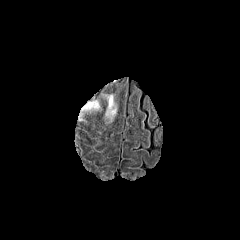
FLAIR MRI.
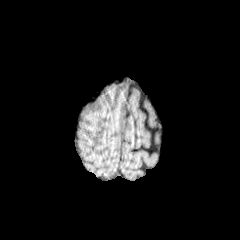
T1-weighted MRI of the same slice.
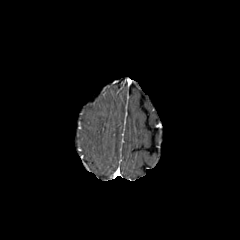
Same slice, post-contrast T1-weighted MRI.
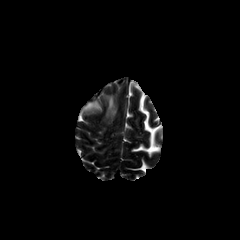
T2-weighted MR image of the same slice.
240x240, Axial slice
2 peritumoral edema regions are located at <bbox>105, 93, 117, 123</bbox>, <bbox>78, 98, 102, 121</bbox>.